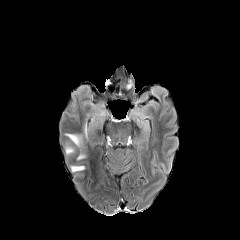
FLAIR MR image.
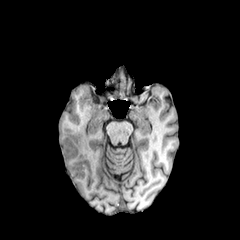
Same slice, T1-weighted MR image.
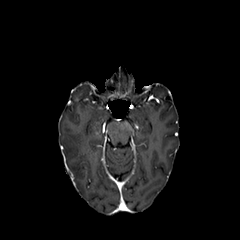
Post-contrast T1-weighted MRI.
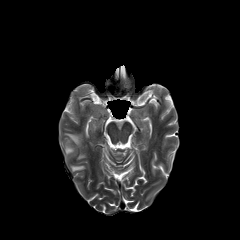
T2-weighted MR of the same slice.
Axial plane.
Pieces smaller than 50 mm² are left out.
<segmentation>
  <peritumoral_edema>72:166:83:171, 68:134:80:145</peritumoral_edema>
</segmentation>